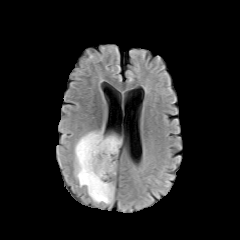
FLAIR magnetic resonance.
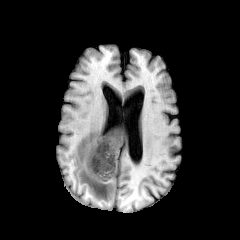
T1-weighted magnetic resonance.
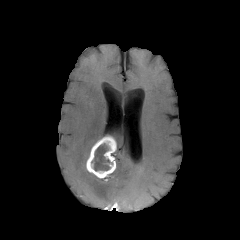
Post-contrast T1-weighted magnetic resonance.
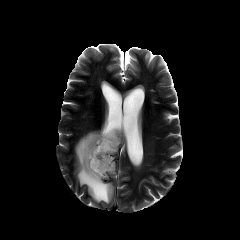
T2-weighted MR.
Brain; Axial slice
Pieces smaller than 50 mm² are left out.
necrotic tumor core: 91, 140, 111, 172
enhancing tumor: 86, 135, 116, 178
peritumoral edema: 74, 126, 114, 204; 108, 134, 121, 160